FLAIR MRI.
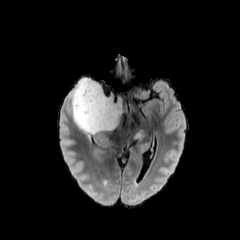
T1-weighted magnetic resonance.
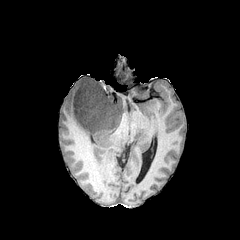
Post-contrast T1-weighted magnetic resonance.
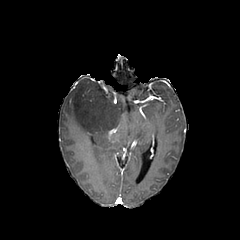
T2-weighted MRI.
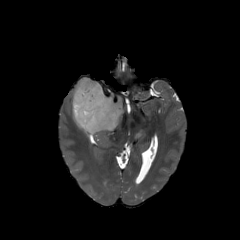
Head; Image size 240x240; Axial slice
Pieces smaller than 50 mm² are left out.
The 2 largest peritumoral edema regions are located at 130:128:145:141, 72:76:127:141.